Image size 240x240 | Slice 77/155 | Head
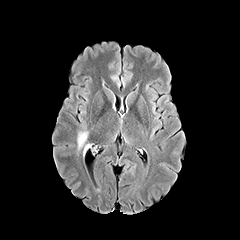
FLAIR MRI.
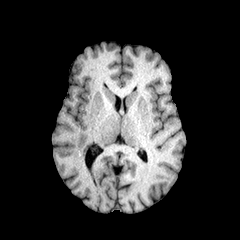
Same slice, T1-weighted MR.
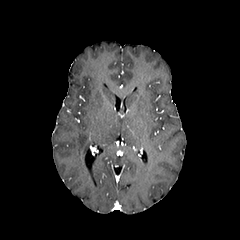
Post-contrast T1-weighted magnetic resonance.
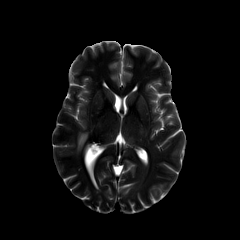
T2-weighted magnetic resonance.
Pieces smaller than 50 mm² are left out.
The largest peritumoral edema region is located at <box>77,132,87,149</box>.